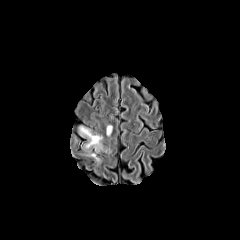
FLAIR magnetic resonance.
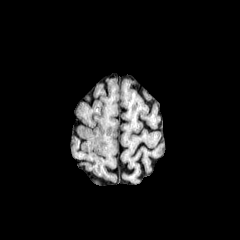
T1-weighted magnetic resonance.
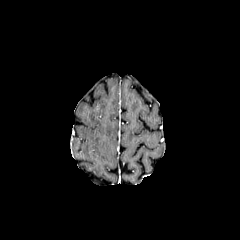
Post-contrast T1-weighted MRI.
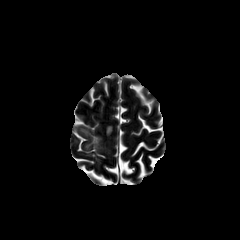
T2-weighted MR image.
240x240; Brain; Axial plane
peritumoral edema at x1=88 y1=153 x2=100 y2=162, x1=79 y1=126 x2=102 y2=151, x1=106 y1=125 x2=112 y2=136